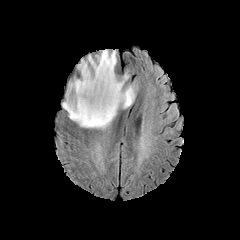
FLAIR MRI.
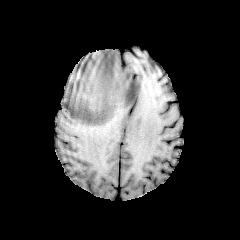
T1-weighted MR.
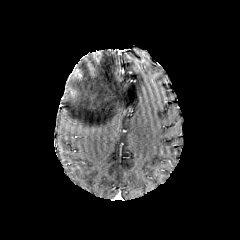
Post-contrast T1-weighted MR image of the same slice.
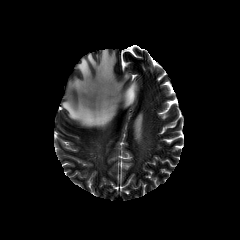
Same slice, T2-weighted MRI.
Axial slice; Head
peritumoral edema: [x1=62, y1=49, x2=137, y2=129]